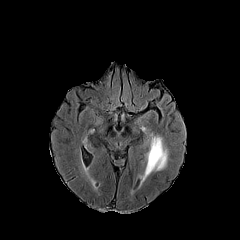
FLAIR MR image.
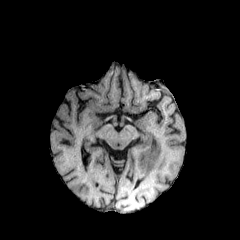
T1-weighted MR image.
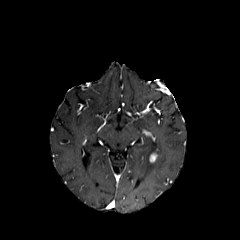
Post-contrast T1-weighted MR image.
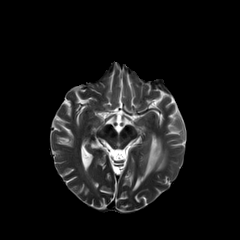
T2-weighted MRI.
Brain | Image size 240x240
enhancing tumor at {"x1": 149, "y1": 153, "x2": 157, "y2": 162}
peritumoral edema at {"x1": 140, "y1": 136, "x2": 167, "y2": 180}